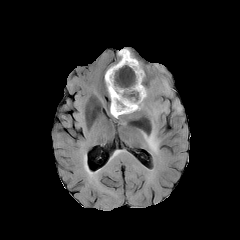
FLAIR MR.
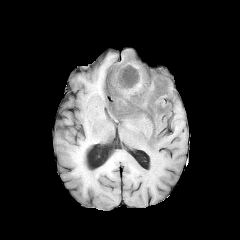
Same slice, T1-weighted MR image.
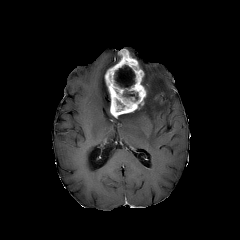
Post-contrast T1-weighted magnetic resonance.
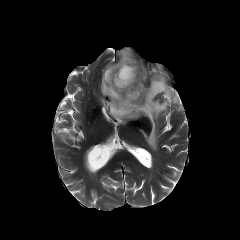
T2-weighted MR of the same slice.
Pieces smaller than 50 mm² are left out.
necrotic tumor core: <bbox>123, 90, 138, 99</bbox>, <bbox>114, 65, 135, 88</bbox> | peritumoral edema: <bbox>118, 66, 173, 153</bbox>, <bbox>173, 99, 181, 112</bbox> | enhancing tumor: <bbox>105, 49, 146, 118</bbox>